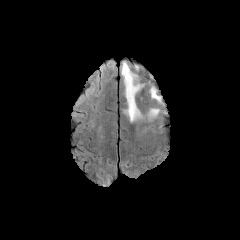
FLAIR MR.
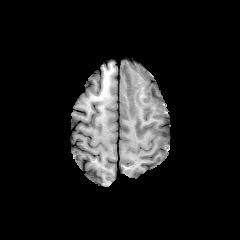
T1-weighted MR.
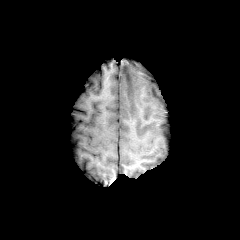
Post-contrast T1-weighted MR.
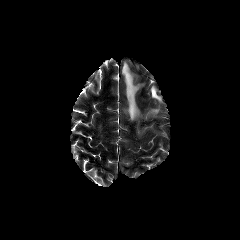
T2-weighted MR image.
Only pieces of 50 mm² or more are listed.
Findings:
* peritumoral edema: region(121, 61, 143, 121); region(150, 86, 161, 102); region(148, 108, 159, 117)